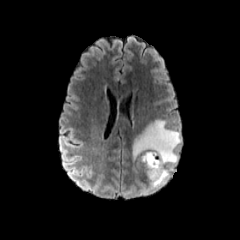
FLAIR MR image.
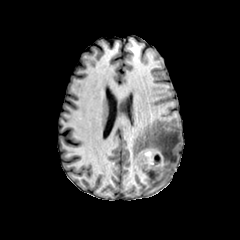
T1-weighted MRI of the same slice.
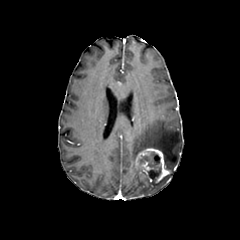
Same slice, post-contrast T1-weighted magnetic resonance.
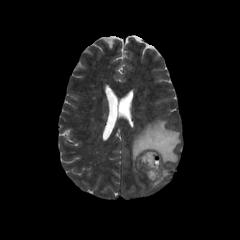
T2-weighted magnetic resonance.
240x240 px. Axial plane. Head.
peritumoral edema — l=132, t=119, r=181, b=188
necrotic tumor core — l=140, t=152, r=160, b=167; l=148, t=166, r=161, b=180
enhancing tumor — l=135, t=147, r=170, b=183